Brain.
FLAIR MR.
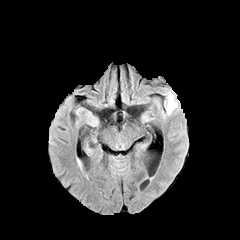
T1-weighted MR image.
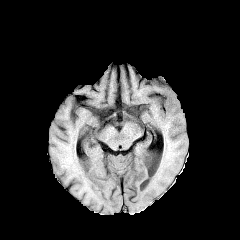
Post-contrast T1-weighted MR.
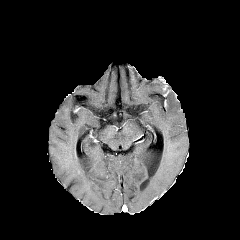
T2-weighted magnetic resonance.
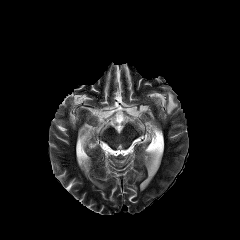
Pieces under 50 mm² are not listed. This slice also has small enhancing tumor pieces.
The peritumoral edema is at (165, 91, 177, 114).